Axial plane, 240x240
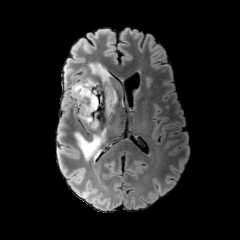
FLAIR MR.
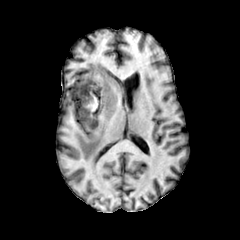
T1-weighted MRI of the same slice.
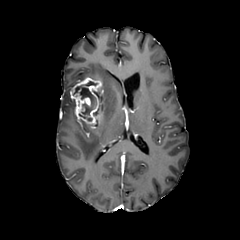
Same slice, post-contrast T1-weighted MRI.
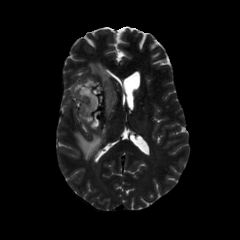
Same slice, T2-weighted MR image.
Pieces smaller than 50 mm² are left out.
enhancing_tumor:
  - (x1=70, y1=75, x2=105, y2=129)
peritumoral_edema:
  - (x1=79, y1=63, x2=117, y2=119)
  - (x1=75, y1=128, x2=106, y2=160)
necrotic_tumor_core:
  - (x1=74, y1=85, x2=96, y2=115)